Brain | Axial slice | Image width 240 mm | Slice 124 of 155
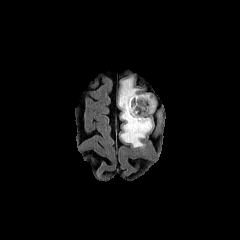
FLAIR MRI.
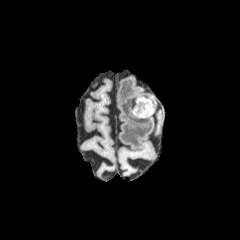
Same slice, T1-weighted MRI.
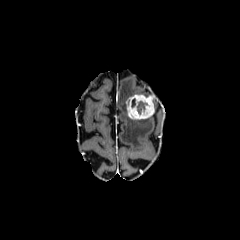
Post-contrast T1-weighted MRI.
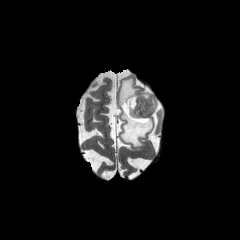
T2-weighted magnetic resonance.
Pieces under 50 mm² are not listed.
The largest necrotic tumor core region lies within (137,101,147,113). The largest peritumoral edema region lies within (118,78,152,147). The enhancing tumor is located at (125,94,154,120).